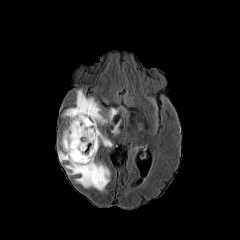
FLAIR magnetic resonance.
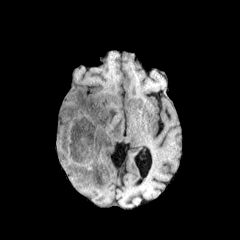
T1-weighted MR.
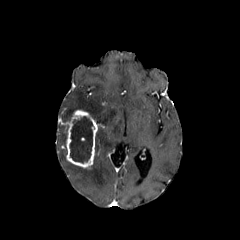
Post-contrast T1-weighted magnetic resonance.
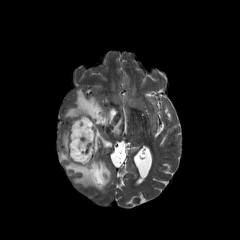
T2-weighted MR image.
Axial plane, Head
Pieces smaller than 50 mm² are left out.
Findings:
- necrotic tumor core: bbox=[70, 116, 93, 162]
- enhancing tumor: bbox=[66, 110, 97, 168]
- peritumoral edema: bbox=[65, 157, 110, 190]; bbox=[59, 149, 66, 161]; bbox=[95, 129, 112, 154]; bbox=[62, 131, 67, 146]; bbox=[64, 89, 117, 124]